Slice 26/155 | Axial plane
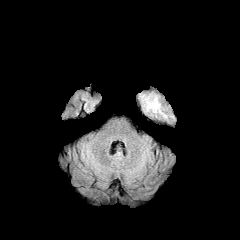
FLAIR magnetic resonance.
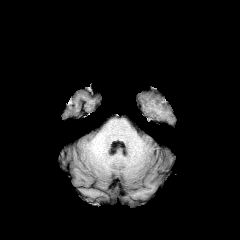
Same slice, T1-weighted magnetic resonance.
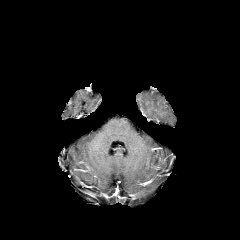
Post-contrast T1-weighted MR.
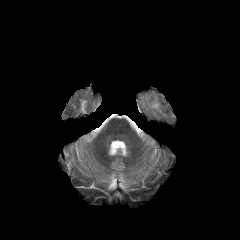
Same slice, T2-weighted magnetic resonance.
The peritumoral edema is bounded by left=140, top=94, right=166, bottom=117.